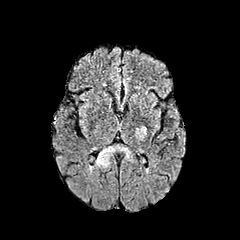
FLAIR MRI.
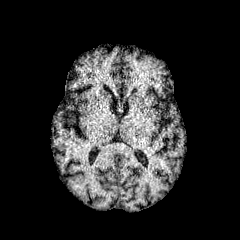
T1-weighted magnetic resonance of the same slice.
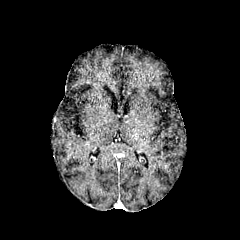
Post-contrast T1-weighted magnetic resonance.
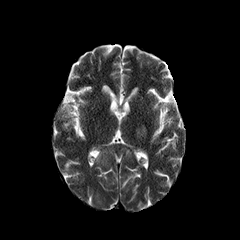
T2-weighted magnetic resonance.
{"peritumoral_edema": ["136 126 146 138", "96 146 130 167"]}